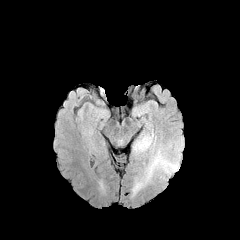
FLAIR MRI.
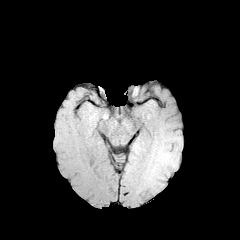
T1-weighted MRI.
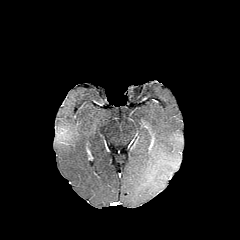
Post-contrast T1-weighted MR image of the same slice.
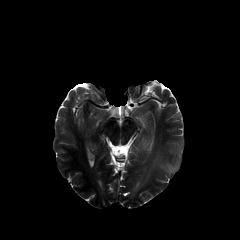
T2-weighted MR of the same slice.
240x240 px. Brain. Axial slice.
Findings:
• peritumoral edema: (x1=133, y1=125, x2=184, y2=192)